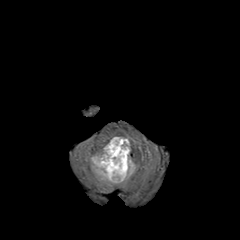
FLAIR MRI.
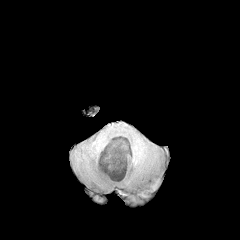
T1-weighted MRI.
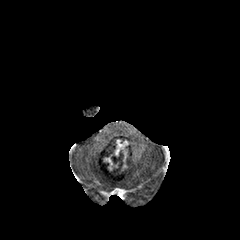
Post-contrast T1-weighted MR.
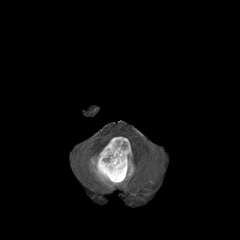
T2-weighted magnetic resonance of the same slice.
The necrotic tumor core is bounded by l=112, t=152, r=123, b=165. The enhancing tumor is at l=100, t=138, r=129, b=179. The peritumoral edema appears at l=90, t=136, r=135, b=186.